240x240. Axial view.
FLAIR MR.
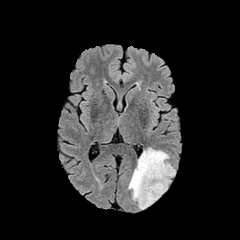
T1-weighted MR.
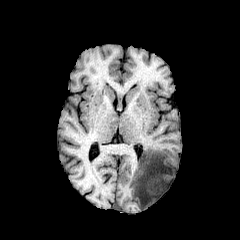
Post-contrast T1-weighted MR image.
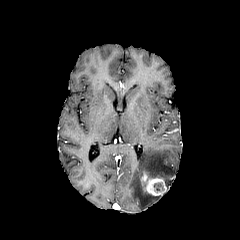
T2-weighted MRI.
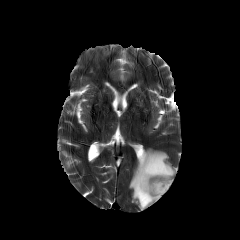
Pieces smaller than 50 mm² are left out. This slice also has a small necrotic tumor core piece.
peritumoral edema: 128:148:175:209 | enhancing tumor: 140:171:166:195